Axial slice. Brain.
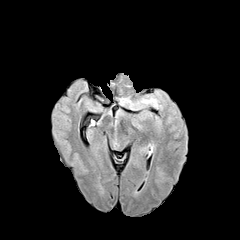
FLAIR MRI.
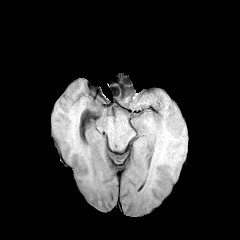
T1-weighted MR image.
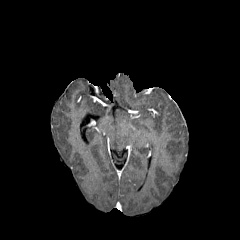
Same slice, post-contrast T1-weighted MR image.
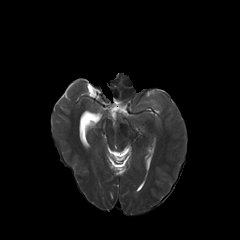
T2-weighted magnetic resonance.
The peritumoral edema lies within {"x1": 144, "y1": 99, "x2": 156, "y2": 105}.